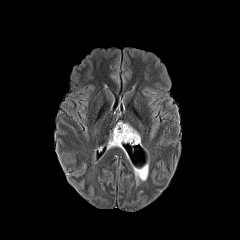
FLAIR MR.
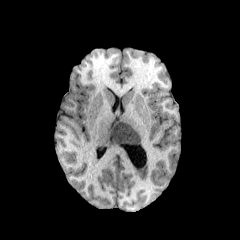
T1-weighted MRI of the same slice.
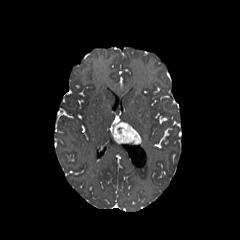
Post-contrast T1-weighted MR of the same slice.
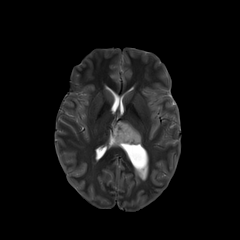
T2-weighted MR.
Head, Axial view
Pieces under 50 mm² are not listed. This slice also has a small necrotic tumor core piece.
enhancing_tumor:
  - {"x1": 111, "y1": 122, "x2": 141, "y2": 144}
peritumoral_edema:
  - {"x1": 108, "y1": 136, "x2": 122, "y2": 148}